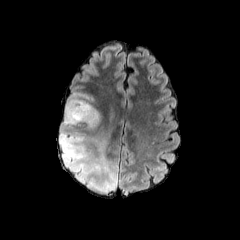
FLAIR MRI.
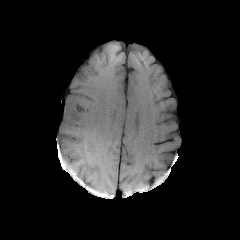
T1-weighted MRI.
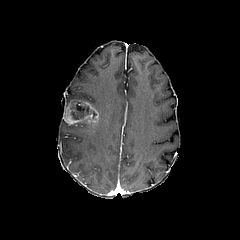
Same slice, post-contrast T1-weighted MRI.
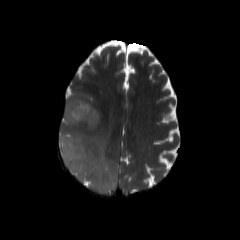
Same slice, T2-weighted MRI.
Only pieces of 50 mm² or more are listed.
Segmented structures:
* enhancing tumor: [64, 99, 99, 124]
* peritumoral edema: [65, 93, 102, 127], [59, 128, 118, 192]
* necrotic tumor core: [71, 103, 96, 119]